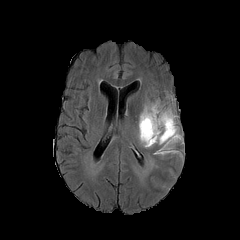
FLAIR MRI.
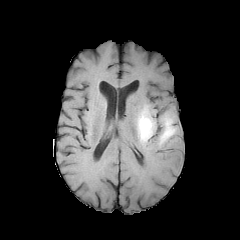
T1-weighted MR.
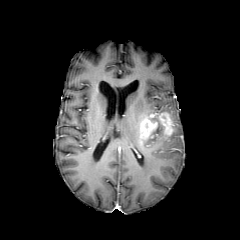
Same slice, post-contrast T1-weighted magnetic resonance.
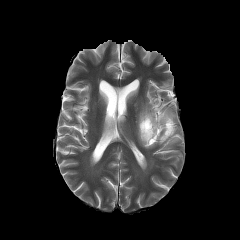
T2-weighted MR image.
Axial plane, Head
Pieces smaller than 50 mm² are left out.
{
  "peritumoral_edema": [
    "<box>138,101,180,154</box>"
  ],
  "enhancing_tumor": [
    "<box>140,112,173,139</box>"
  ]
}